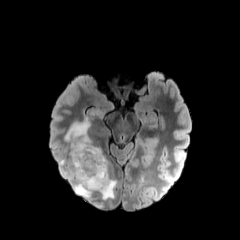
FLAIR magnetic resonance.
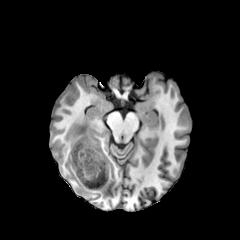
Same slice, T1-weighted MRI.
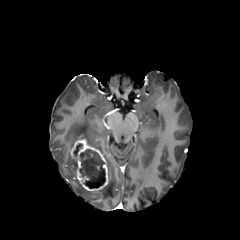
Post-contrast T1-weighted MR.
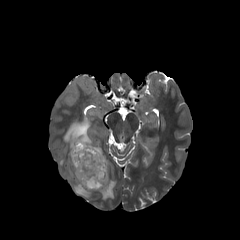
T2-weighted MR image.
Axial view; Image size 240x240
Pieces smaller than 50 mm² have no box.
necrotic_tumor_core:
  - bbox(73, 143, 82, 156)
  - bbox(79, 149, 105, 188)
peritumoral_edema:
  - bbox(64, 118, 102, 163)
  - bbox(69, 157, 116, 199)
enhancing_tumor:
  - bbox(71, 138, 108, 191)